Axial plane | Image covers 240 mm x 240 mm | 240x240 | Slice 33 of 155
FLAIR MR.
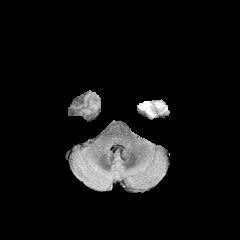
T1-weighted MRI.
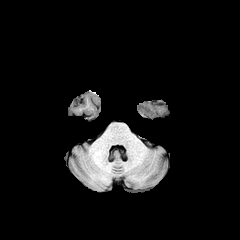
Post-contrast T1-weighted MRI.
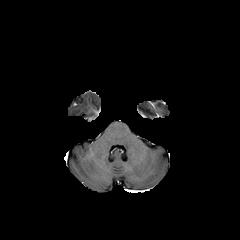
T2-weighted MRI.
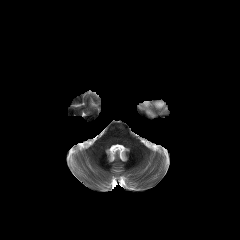
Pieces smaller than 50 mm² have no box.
peritumoral edema: bounding box bbox(144, 102, 152, 114)